Image covers 240 mm x 240 mm, Slice 120 of 155
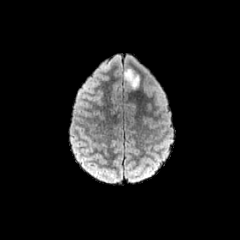
FLAIR MR.
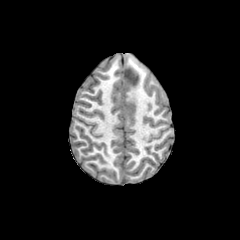
T1-weighted MRI.
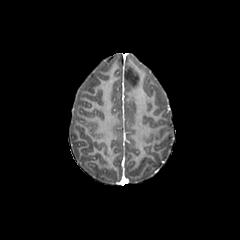
Same slice, post-contrast T1-weighted magnetic resonance.
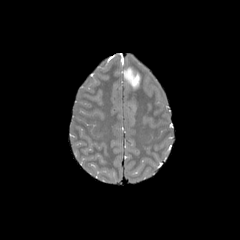
T2-weighted MR.
The peritumoral edema lies within box=[124, 68, 139, 88].